FLAIR MRI.
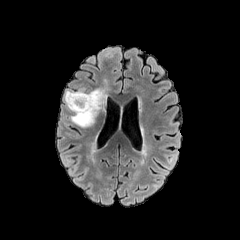
T1-weighted MR image.
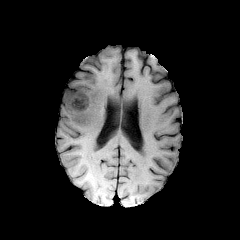
Post-contrast T1-weighted magnetic resonance.
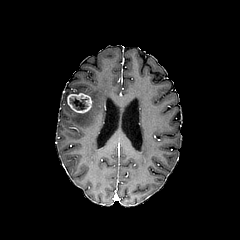
T2-weighted MRI.
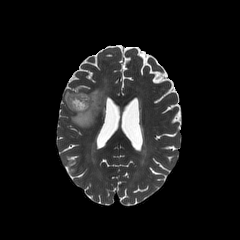
Axial view | 240x240
necrotic_tumor_core:
  - (x1=70, y1=98, x2=86, y2=109)
peritumoral_edema:
  - (x1=64, y1=88, x2=106, y2=127)
enhancing_tumor:
  - (x1=67, y1=92, x2=93, y2=113)